FLAIR MR image.
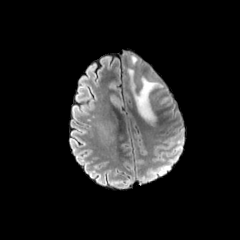
T1-weighted MR.
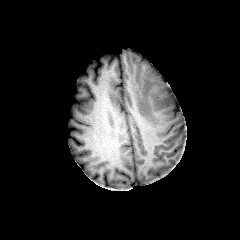
Post-contrast T1-weighted MR image.
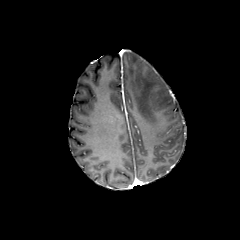
T2-weighted MR.
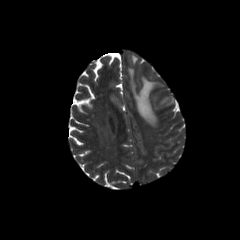
240x240 px; Brain
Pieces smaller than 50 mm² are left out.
{
  "peritumoral_edema": [
    "159 97 171 104",
    "128 68 161 124"
  ]
}